Slice 92/155; 240x240; Brain; Axial slice
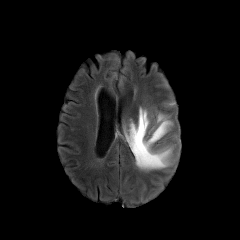
FLAIR MR.
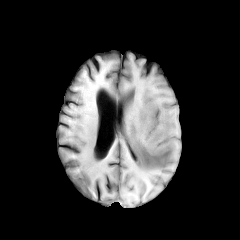
T1-weighted MR image.
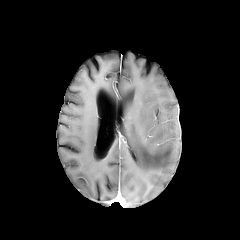
Post-contrast T1-weighted MR.
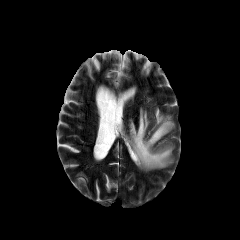
T2-weighted MR.
Findings:
- peritumoral edema: 125,107,173,170